Axial view. Slice 32/155.
FLAIR MR.
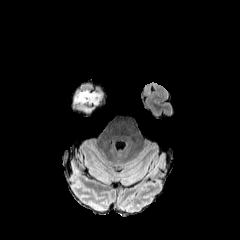
T1-weighted magnetic resonance.
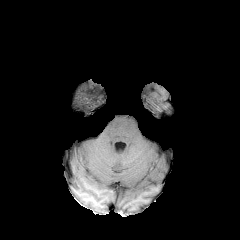
Post-contrast T1-weighted magnetic resonance.
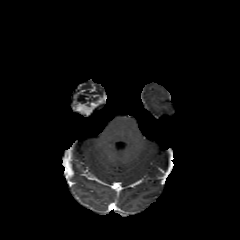
T2-weighted magnetic resonance.
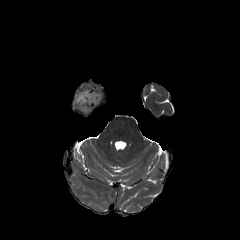
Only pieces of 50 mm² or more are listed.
The peritumoral edema appears at box=[71, 90, 102, 111]. The largest enhancing tumor region is bounded by box=[77, 98, 101, 114].